Axial view; Image size 240x240
FLAIR MRI.
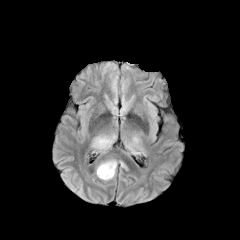
T1-weighted MR.
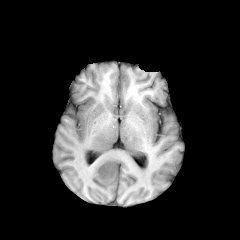
Post-contrast T1-weighted MR image.
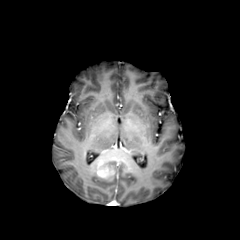
T2-weighted MR image.
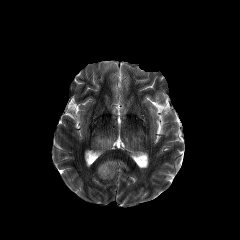
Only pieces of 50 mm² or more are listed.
{"enhancing_tumor": ["(left=96, top=161, right=115, bottom=178)"], "peritumoral_edema": ["(left=105, top=158, right=117, bottom=172)", "(left=93, top=136, right=114, bottom=151)"]}